FLAIR MRI.
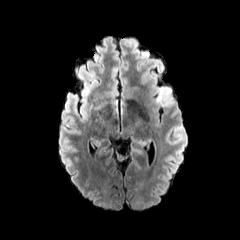
T1-weighted MRI.
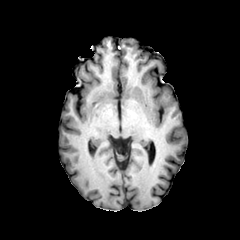
Post-contrast T1-weighted MR image.
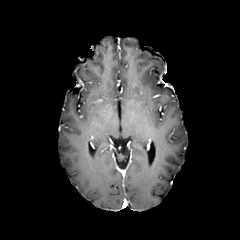
T2-weighted MR image.
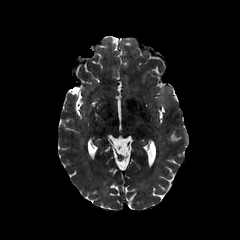
Head
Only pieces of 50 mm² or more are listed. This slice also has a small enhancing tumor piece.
peritumoral edema: <box>155,86,171,103</box>